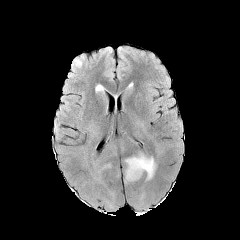
FLAIR MR image.
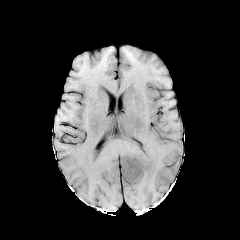
T1-weighted MR image.
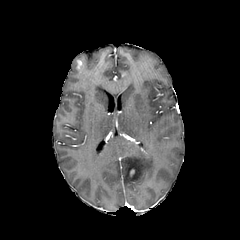
Post-contrast T1-weighted MRI of the same slice.
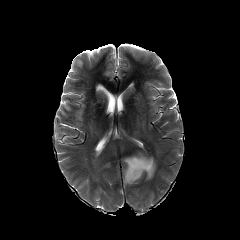
T2-weighted MR image of the same slice.
Head. Axial plane.
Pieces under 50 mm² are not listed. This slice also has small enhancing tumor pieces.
• peritumoral edema: bbox=[124, 153, 155, 183]